FLAIR MR.
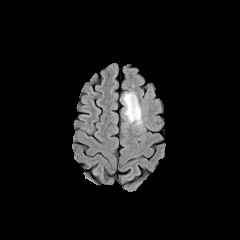
T1-weighted MRI.
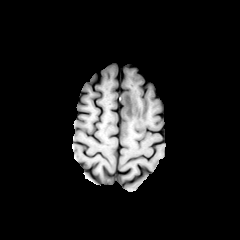
Post-contrast T1-weighted magnetic resonance.
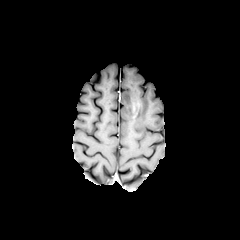
T2-weighted MR.
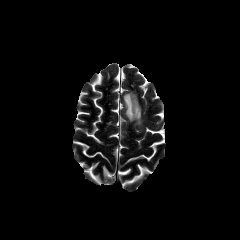
Head | Axial slice
{"enhancing_tumor": ["x1=127, y1=99, x2=137, y2=117"], "peritumoral_edema": ["x1=122, y1=91, x2=142, y2=127"]}